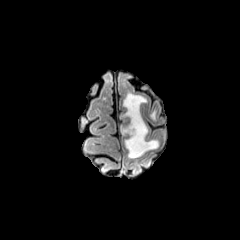
FLAIR magnetic resonance.
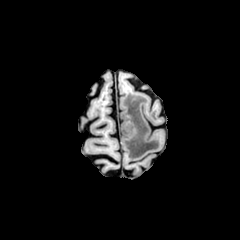
T1-weighted magnetic resonance.
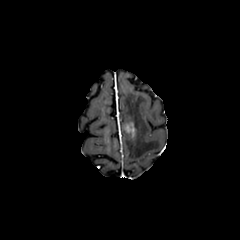
Same slice, post-contrast T1-weighted magnetic resonance.
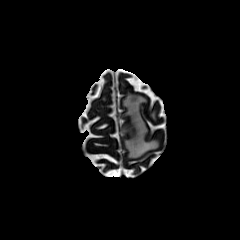
T2-weighted MRI.
240x240, Head
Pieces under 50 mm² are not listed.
The largest peritumoral edema region is located at (x1=120, y1=92, x2=159, y2=158). The enhancing tumor is located at (x1=122, y1=121, x2=136, y2=137).